Image size 240x240 | Axial view | Slice index 97
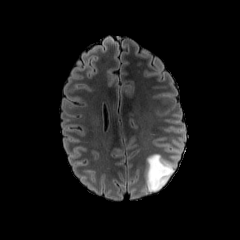
FLAIR MRI.
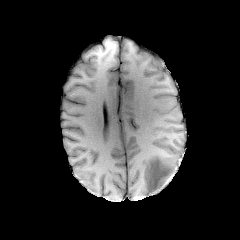
T1-weighted magnetic resonance.
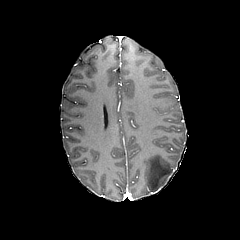
Post-contrast T1-weighted MRI of the same slice.
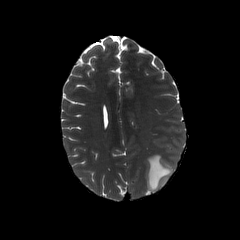
T2-weighted magnetic resonance.
Annotated regions:
- peritumoral edema: <box>145,154,174,191</box>